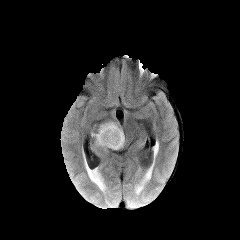
FLAIR MR image.
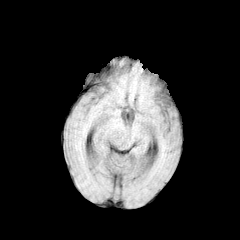
T1-weighted MR image.
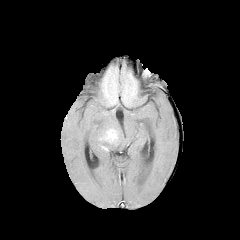
Same slice, post-contrast T1-weighted magnetic resonance.
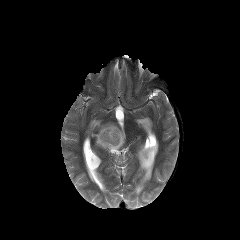
T2-weighted magnetic resonance of the same slice.
Brain.
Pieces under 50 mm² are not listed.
enhancing tumor — (100, 129, 118, 143)
peritumoral edema — (92, 122, 124, 149)